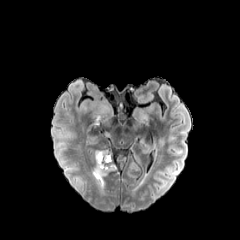
FLAIR magnetic resonance.
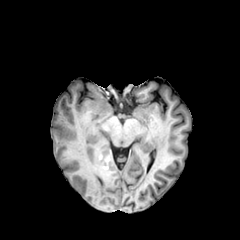
T1-weighted magnetic resonance.
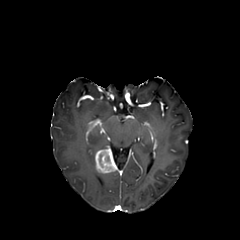
Post-contrast T1-weighted magnetic resonance.
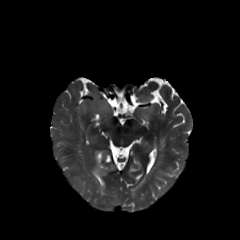
Same slice, T2-weighted MRI.
Axial plane; 240x240 px
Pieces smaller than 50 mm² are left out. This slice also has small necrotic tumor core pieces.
peritumoral edema — bbox=[91, 167, 106, 190]
enhancing tumor — bbox=[95, 148, 117, 173]